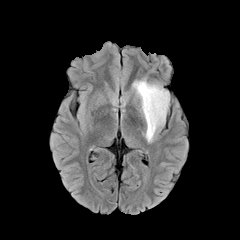
FLAIR MR.
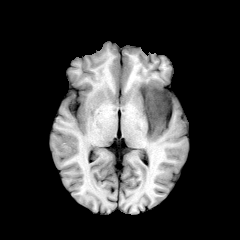
Same slice, T1-weighted MR image.
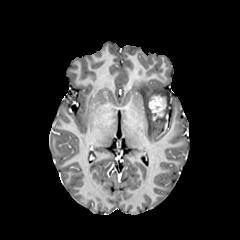
Post-contrast T1-weighted MRI.
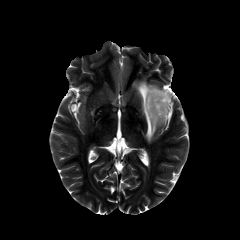
T2-weighted MR image.
Axial slice
peritumoral_edema:
  - [132,79,169,142]
enhancing_tumor:
  - [149,95,166,120]